FLAIR MR.
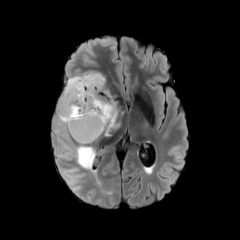
T1-weighted MR image.
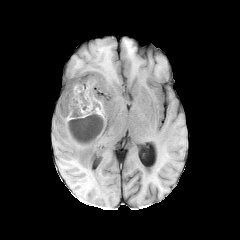
Post-contrast T1-weighted MR.
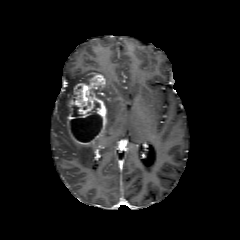
T2-weighted MR.
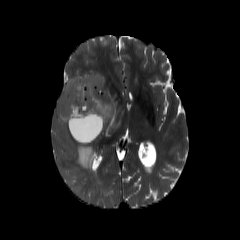
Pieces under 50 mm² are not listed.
{"necrotic_tumor_core": ["[x1=70, y1=112, x2=102, y2=141]", "[x1=71, y1=105, x2=82, y2=116]"], "enhancing_tumor": ["[x1=67, y1=74, x2=107, y2=144]"], "peritumoral_edema": ["[x1=57, y1=73, x2=98, y2=126]", "[x1=103, y1=99, x2=117, y2=135]", "[x1=75, y1=145, x2=95, y2=169]", "[x1=94, y1=88, x2=109, y2=96]"]}